Slice 53/155 | Axial view
FLAIR MR image.
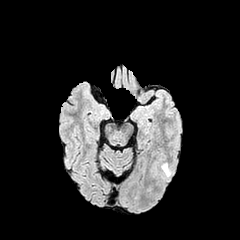
T1-weighted MR image.
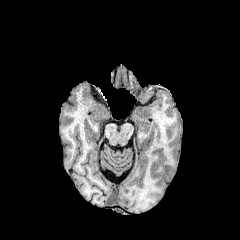
Post-contrast T1-weighted MRI.
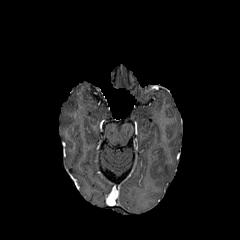
T2-weighted MR image.
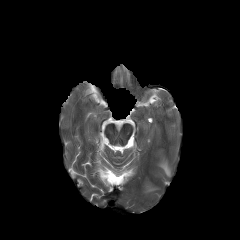
peritumoral_edema:
  - 161,163,170,176